FLAIR MR.
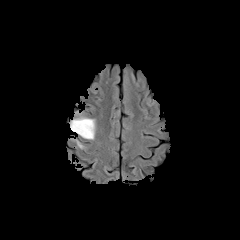
T1-weighted MRI.
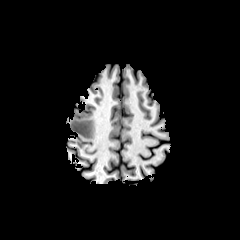
Post-contrast T1-weighted MRI.
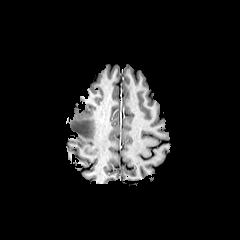
T2-weighted magnetic resonance.
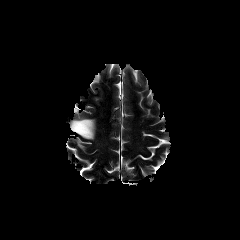
240x240 px
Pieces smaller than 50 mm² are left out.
The largest peritumoral edema region appears at (70,116,95,139).